FLAIR MRI.
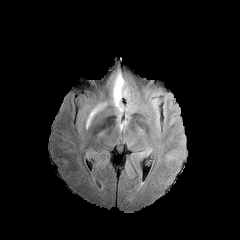
T1-weighted MR.
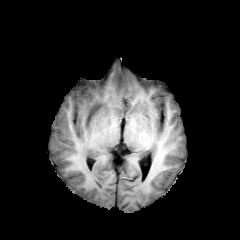
Post-contrast T1-weighted magnetic resonance.
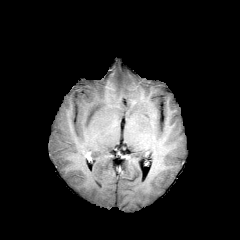
T2-weighted MR.
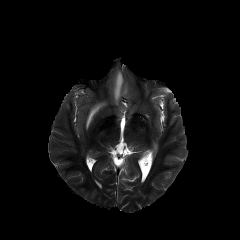
240x240 px | Brain | Axial slice
peritumoral edema — x1=112 y1=70 x2=128 y2=111, x1=86 y1=103 x2=105 y2=127